FLAIR MR image.
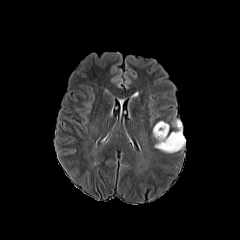
T1-weighted MRI.
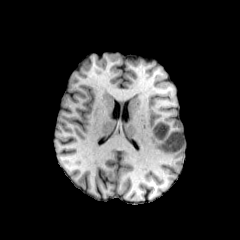
Post-contrast T1-weighted MRI.
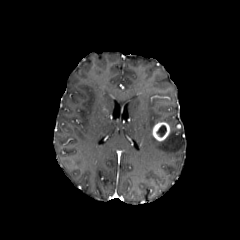
T2-weighted MR image.
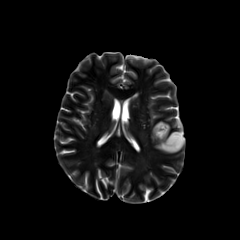
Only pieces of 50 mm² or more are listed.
The necrotic tumor core is at box=[157, 125, 166, 136]. The peritumoral edema is at box=[154, 119, 185, 153]. The largest enhancing tumor region appears at box=[153, 122, 169, 141].